240x240 px. Slice 131 of 155. Image width 240 mm. Brain.
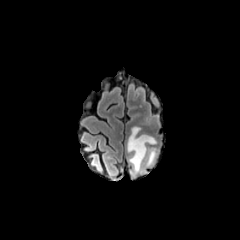
FLAIR MR.
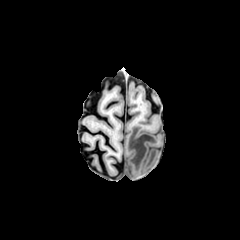
T1-weighted magnetic resonance of the same slice.
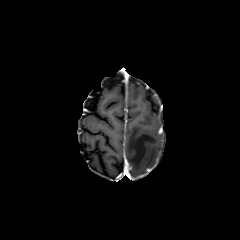
Post-contrast T1-weighted MR image.
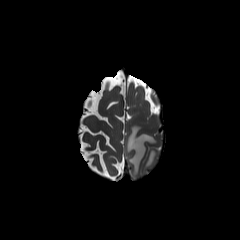
T2-weighted MR image.
peritumoral edema: (left=126, top=126, right=158, bottom=176)